Axial slice | Image width 240 mm, 1.00 mm slice spacing | 240x240
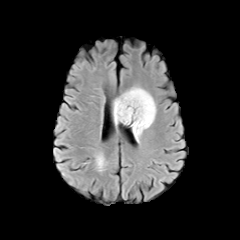
FLAIR MR image.
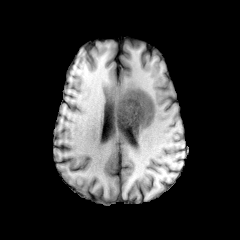
T1-weighted MR image of the same slice.
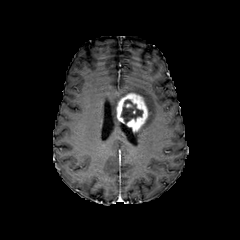
Post-contrast T1-weighted MR image of the same slice.
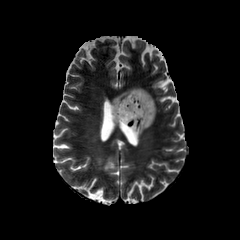
Same slice, T2-weighted MRI.
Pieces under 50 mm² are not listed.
necrotic tumor core — (left=121, top=100, right=142, bottom=122)
peritumoral edema — (left=96, top=155, right=103, bottom=170), (left=113, top=87, right=156, bottom=141)
enhancing tumor — (left=116, top=93, right=148, bottom=132)